FLAIR MR.
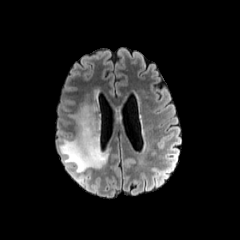
T1-weighted magnetic resonance.
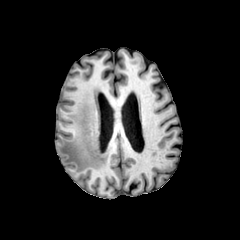
Post-contrast T1-weighted magnetic resonance.
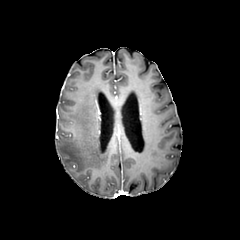
T2-weighted magnetic resonance.
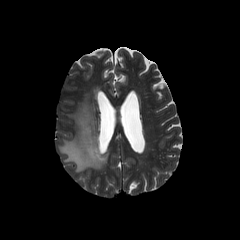
Axial plane
The peritumoral edema is bounded by [x1=59, y1=98, x2=108, y2=172].